Head; Slice 120/155; Axial plane
FLAIR magnetic resonance.
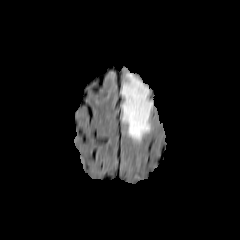
T1-weighted MRI.
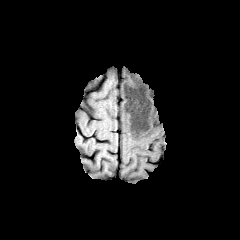
Post-contrast T1-weighted MR.
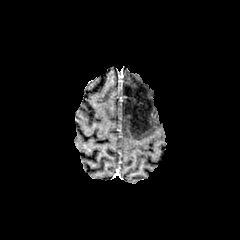
T2-weighted MRI.
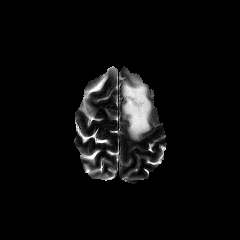
{"peritumoral_edema": ["121, 73, 152, 141"]}